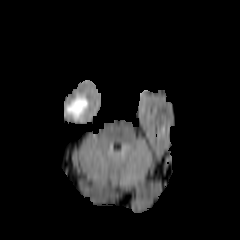
FLAIR MR.
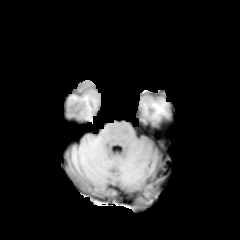
T1-weighted MR of the same slice.
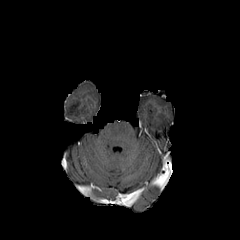
Post-contrast T1-weighted MR image.
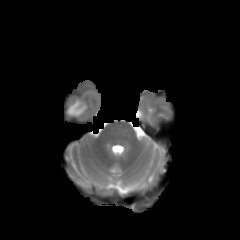
Same slice, T2-weighted MRI.
Axial slice, Head
* peritumoral edema: 66:95:87:117